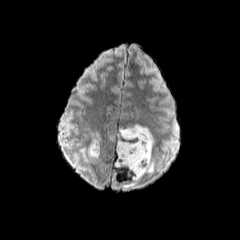
FLAIR MR image.
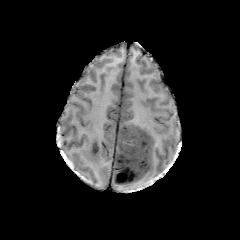
Same slice, T1-weighted MR.
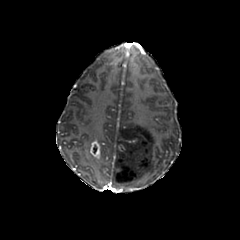
Same slice, post-contrast T1-weighted magnetic resonance.
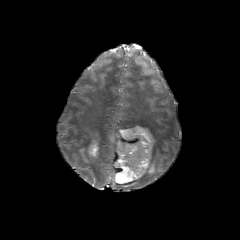
T2-weighted MR of the same slice.
Head; Axial plane
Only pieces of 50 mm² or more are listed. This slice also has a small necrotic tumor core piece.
The 2 largest peritumoral edema regions appear at bbox(80, 134, 101, 169); bbox(112, 124, 154, 187). The enhancing tumor is at bbox(84, 139, 100, 158).